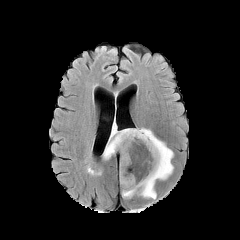
FLAIR MR.
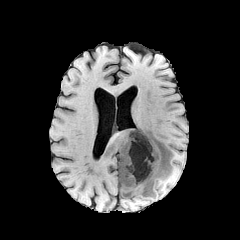
T1-weighted MRI.
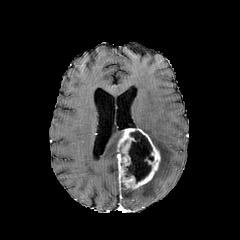
Post-contrast T1-weighted magnetic resonance.
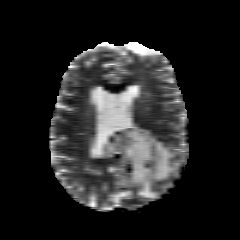
Same slice, T2-weighted MR.
Image size 240x240, Axial plane, Brain
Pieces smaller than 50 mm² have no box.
Findings:
• peritumoral edema: 122, 128, 173, 199; 103, 124, 122, 159
• enhancing tumor: 117, 128, 160, 189
• necrotic tumor core: 125, 131, 153, 182